FLAIR MR image.
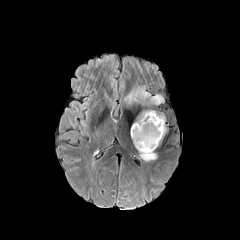
T1-weighted MR image.
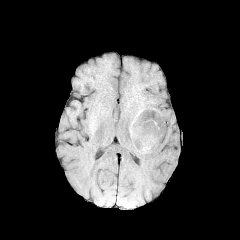
Post-contrast T1-weighted MR image.
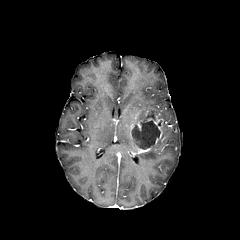
T2-weighted MR.
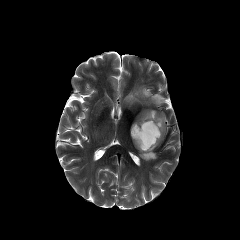
Head, 240x240 px, Axial slice
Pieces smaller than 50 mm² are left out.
enhancing tumor = box(131, 112, 163, 152)
necrotic tumor core = box(133, 114, 160, 149)
peritumoral edema = box(139, 141, 159, 161); box(160, 113, 166, 137); box(135, 110, 157, 122); box(135, 86, 164, 104)